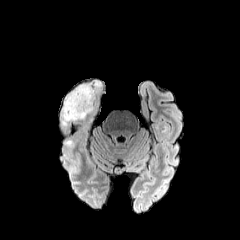
FLAIR MRI.
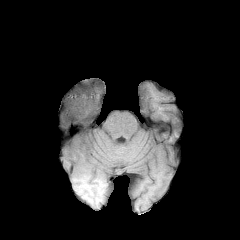
T1-weighted magnetic resonance of the same slice.
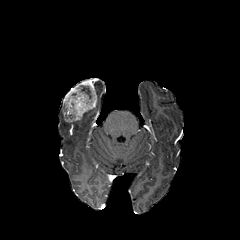
Same slice, post-contrast T1-weighted MR.
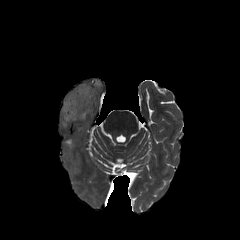
T2-weighted magnetic resonance.
Axial slice.
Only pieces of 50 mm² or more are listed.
enhancing tumor: (63, 78, 97, 122) | necrotic tumor core: (76, 85, 89, 93) | peritumoral edema: (94, 80, 101, 95)